Slice index 102; Brain
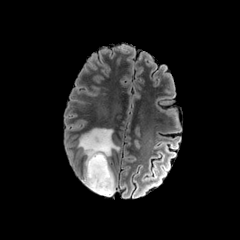
FLAIR MR.
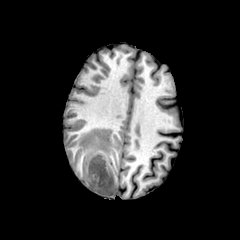
T1-weighted MR image of the same slice.
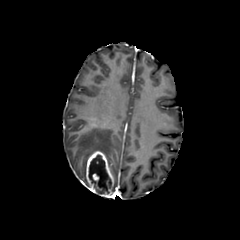
Same slice, post-contrast T1-weighted MR image.
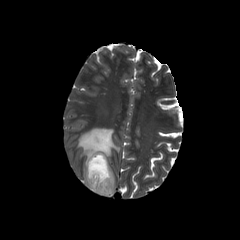
T2-weighted magnetic resonance of the same slice.
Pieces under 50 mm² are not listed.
peritumoral edema: {"x1": 77, "y1": 128, "x2": 119, "y2": 182} | necrotic tumor core: {"x1": 88, "y1": 155, "x2": 111, "y2": 193} | enhancing tumor: {"x1": 83, "y1": 151, "x2": 115, "y2": 197}